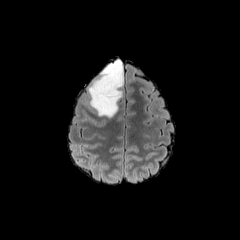
FLAIR MRI.
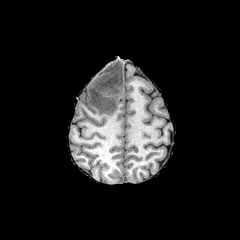
T1-weighted MR image.
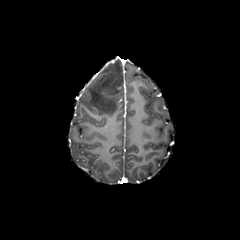
Post-contrast T1-weighted MRI of the same slice.
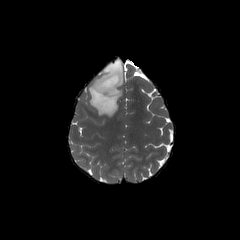
T2-weighted magnetic resonance.
Axial view
Segmented structures:
* peritumoral edema: (88, 59, 123, 117)